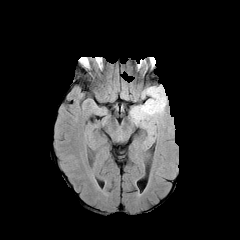
FLAIR MRI.
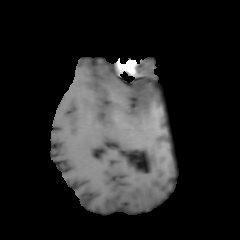
T1-weighted magnetic resonance.
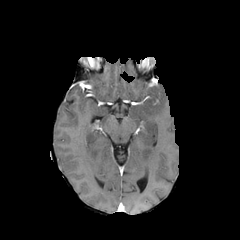
Post-contrast T1-weighted MR image of the same slice.
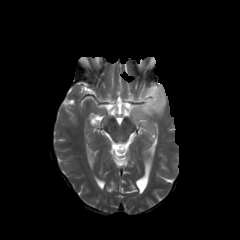
Same slice, T2-weighted MRI.
Axial slice
The peritumoral edema appears at 130 85 166 133.